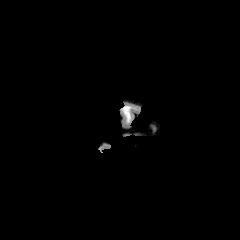
FLAIR MRI.
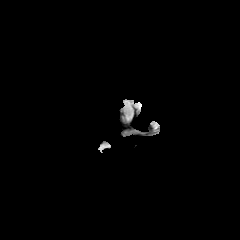
T1-weighted magnetic resonance of the same slice.
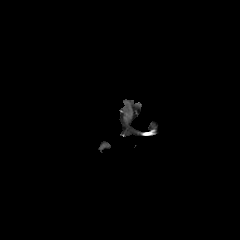
Post-contrast T1-weighted magnetic resonance of the same slice.
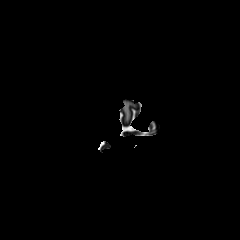
Same slice, T2-weighted MR.
Brain | Axial plane | 240x240
peritumoral edema = (123, 105, 130, 121)